FLAIR MRI.
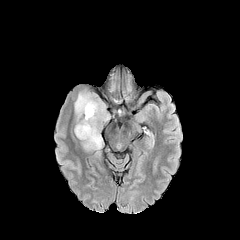
T1-weighted MR.
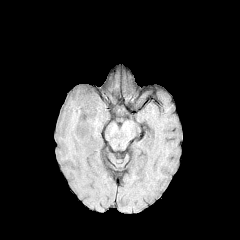
Post-contrast T1-weighted magnetic resonance.
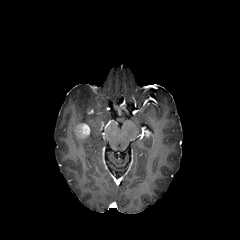
T2-weighted MRI.
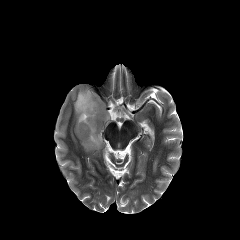
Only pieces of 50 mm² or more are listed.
Findings:
- enhancing tumor: <bbox>75, 123, 90, 138</bbox>
- peritumoral edema: <bbox>74, 89, 109, 155</bbox>